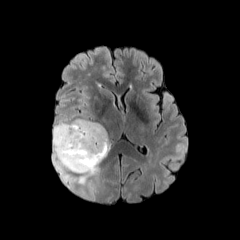
FLAIR MRI.
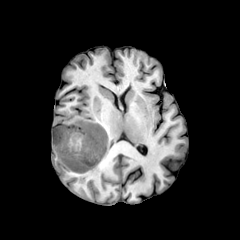
T1-weighted MR.
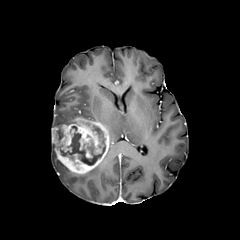
Same slice, post-contrast T1-weighted MRI.
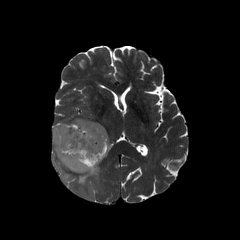
T2-weighted MR image of the same slice.
Axial plane. Brain. 240x240 px.
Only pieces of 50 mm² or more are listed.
{"enhancing_tumor": ["l=52, t=117, r=110, b=173"], "necrotic_tumor_core": ["l=60, t=125, r=105, b=165"], "peritumoral_edema": ["l=78, t=165, r=98, b=183", "l=52, t=144, r=69, b=180"]}